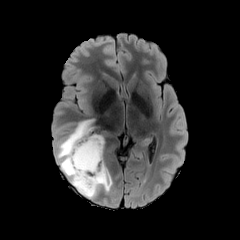
FLAIR MRI.
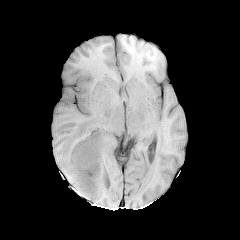
T1-weighted magnetic resonance of the same slice.
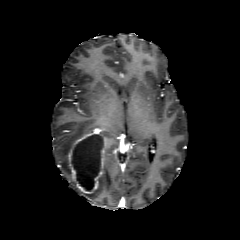
Post-contrast T1-weighted MR image of the same slice.
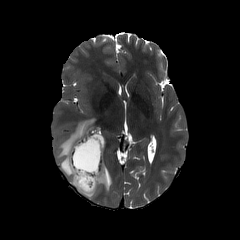
T2-weighted magnetic resonance.
Brain
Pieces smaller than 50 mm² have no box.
{
  "peritumoral_edema": [
    "(76,165,112,198)",
    "(56,120,93,186)"
  ],
  "enhancing_tumor": [
    "(67,133,104,194)"
  ],
  "necrotic_tumor_core": [
    "(72,135,104,190)"
  ]
}